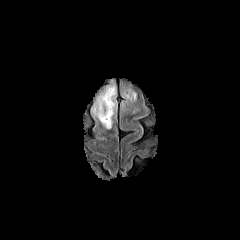
FLAIR MR image.
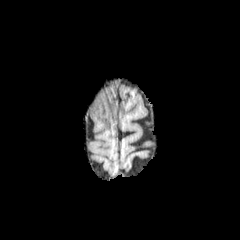
T1-weighted MRI.
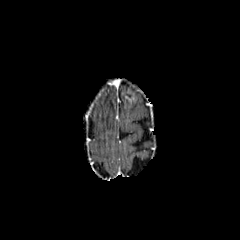
Post-contrast T1-weighted MRI of the same slice.
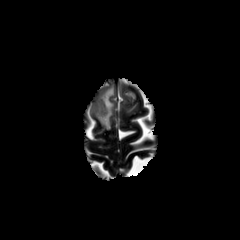
T2-weighted MRI of the same slice.
Image size 240x240, Axial view, Head
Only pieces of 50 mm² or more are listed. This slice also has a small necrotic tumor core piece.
Annotated regions:
• enhancing tumor: rect(125, 90, 134, 102)
• peritumoral edema: rect(92, 85, 116, 129)